240x240 px; Brain; Axial slice
FLAIR MRI.
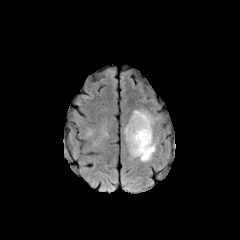
T1-weighted MR image.
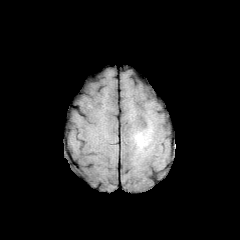
Post-contrast T1-weighted magnetic resonance.
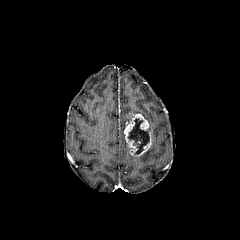
T2-weighted magnetic resonance.
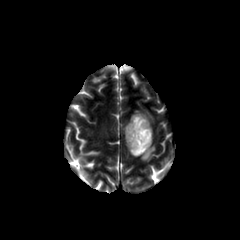
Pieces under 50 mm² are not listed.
The largest enhancing tumor region lies within [x1=124, y1=113, x2=151, y2=156]. The largest peritumoral edema region is located at [x1=133, y1=110, x2=155, y2=161]. The necrotic tumor core is at [x1=128, y1=118, x2=149, y2=154].